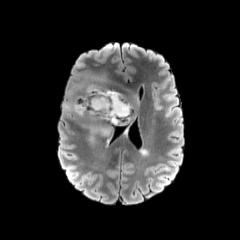
FLAIR magnetic resonance.
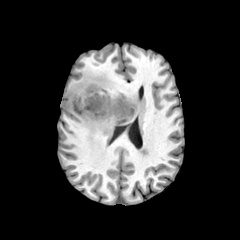
T1-weighted MR image.
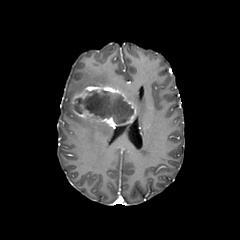
Post-contrast T1-weighted MR of the same slice.
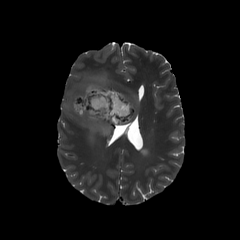
T2-weighted MR of the same slice.
Brain, Axial slice, 240x240
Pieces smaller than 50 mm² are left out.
The 3 largest peritumoral edema regions are bounded by 83, 123, 113, 140; 131, 94, 139, 114; 94, 77, 105, 82. The enhancing tumor is bounded by 71, 85, 136, 128. The necrotic tumor core is at 74, 90, 133, 123.